Axial plane. Slice index 74.
FLAIR MR image.
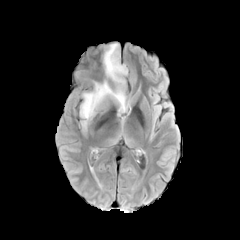
T1-weighted MR.
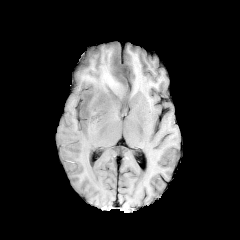
Post-contrast T1-weighted magnetic resonance.
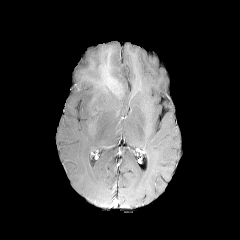
T2-weighted MR image.
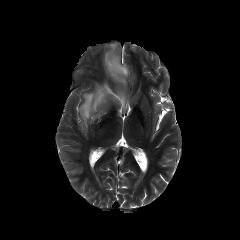
<segmentation>
  <peritumoral_edema>left=80, top=41, right=128, bottom=137</peritumoral_edema>
</segmentation>